Image size 240x240; Axial slice; Slice 103 of 155
FLAIR magnetic resonance.
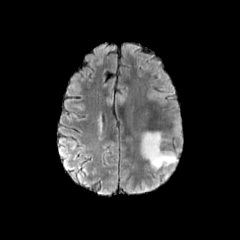
T1-weighted MR image.
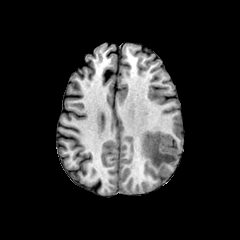
Post-contrast T1-weighted MR.
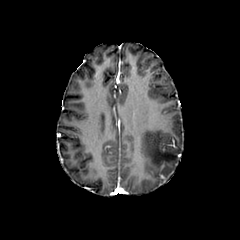
T2-weighted MR image.
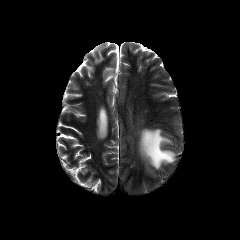
The peritumoral edema is located at 140,132,176,169.